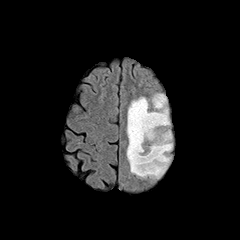
FLAIR magnetic resonance.
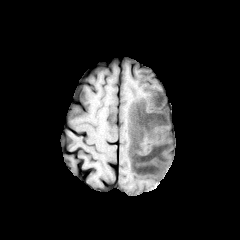
Same slice, T1-weighted MR image.
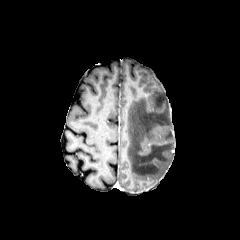
Same slice, post-contrast T1-weighted magnetic resonance.
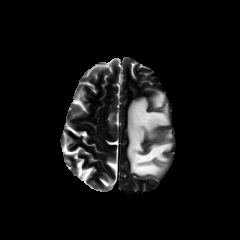
T2-weighted MR image.
240x240 px. Head.
{"peritumoral_edema": ["x1=127 y1=93 x2=172 y2=178"]}